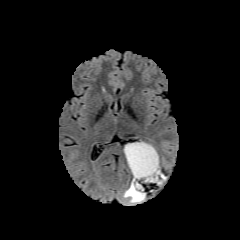
FLAIR MR image.
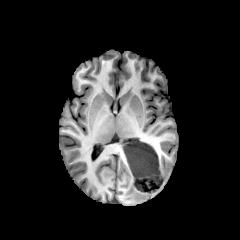
T1-weighted MR image.
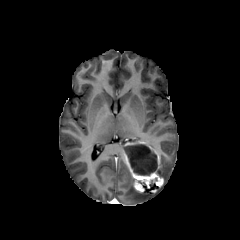
Post-contrast T1-weighted MRI.
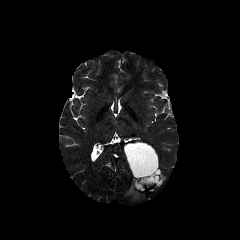
T2-weighted MR.
Brain.
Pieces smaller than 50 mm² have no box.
The largest necrotic tumor core region is bounded by region(125, 144, 157, 175). The largest enhancing tumor region is bounded by region(124, 141, 163, 192). The largest peritumoral edema region is at region(123, 178, 145, 202).